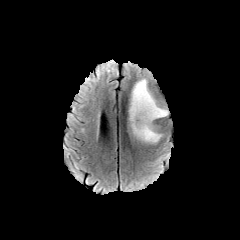
FLAIR MRI.
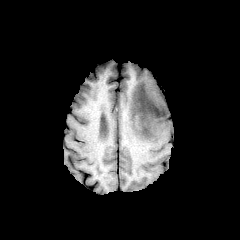
T1-weighted MR of the same slice.
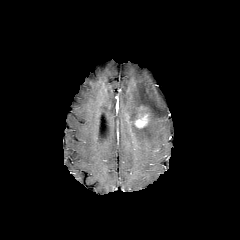
Post-contrast T1-weighted MR.
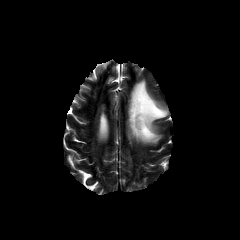
T2-weighted MR image.
Axial slice. Brain.
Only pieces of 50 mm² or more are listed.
The largest enhancing tumor region lies within (left=135, top=112, right=148, bottom=127). The peritumoral edema is bounded by (left=128, top=78, right=168, bottom=143).